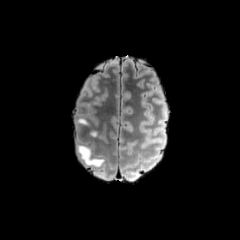
FLAIR magnetic resonance.
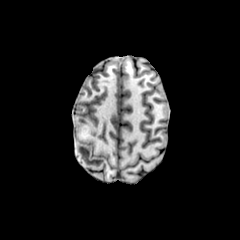
T1-weighted MR.
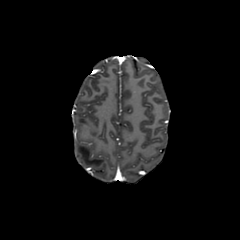
Post-contrast T1-weighted MRI.
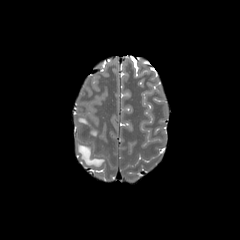
Same slice, T2-weighted MR.
Axial plane, Brain, 240x240
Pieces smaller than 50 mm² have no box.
The 2 largest peritumoral edema regions are bounded by region(77, 118, 88, 124); region(77, 144, 103, 166).